Image covers 240 mm x 240 mm
FLAIR MR.
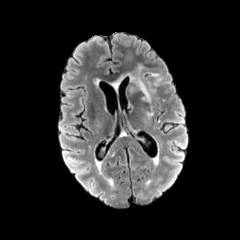
T1-weighted MR.
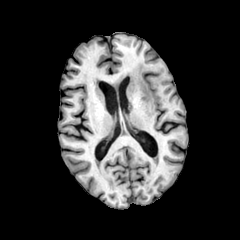
Post-contrast T1-weighted MR image.
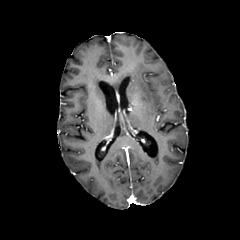
T2-weighted MRI.
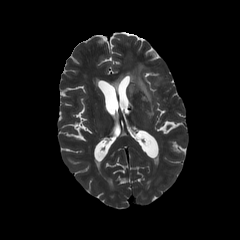
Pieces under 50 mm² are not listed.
Segmented structures:
- peritumoral edema: [x1=152, y1=74, x2=162, y2=85], [x1=127, y1=64, x2=151, y2=102]